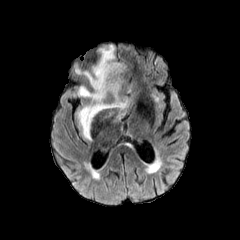
FLAIR MRI.
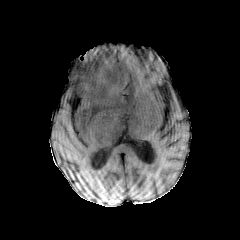
T1-weighted magnetic resonance.
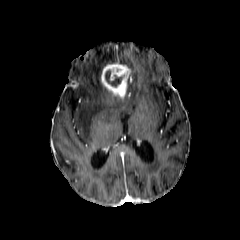
Same slice, post-contrast T1-weighted magnetic resonance.
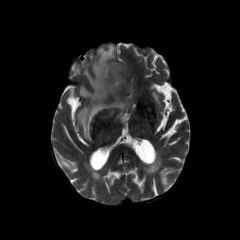
T2-weighted MR image.
Axial slice, Brain
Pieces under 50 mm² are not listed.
peritumoral_edema:
  - x1=75 y1=45 x2=130 y2=138
necrotic_tumor_core:
  - x1=105 y1=70 x2=121 y2=86
enhancing_tumor:
  - x1=100 y1=63 x2=130 y2=100